240x240, Image covers 240 mm x 240 mm, Axial slice
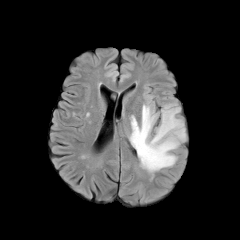
FLAIR MRI.
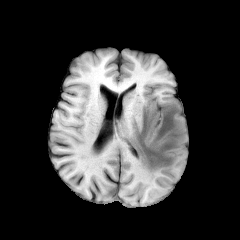
T1-weighted MRI.
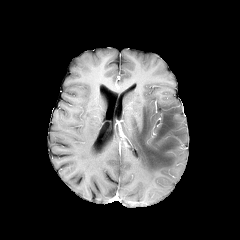
Post-contrast T1-weighted MRI of the same slice.
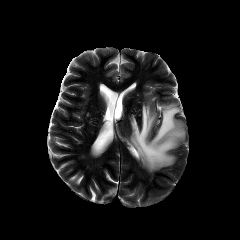
Same slice, T2-weighted MR.
* peritumoral edema: region(129, 102, 185, 173)